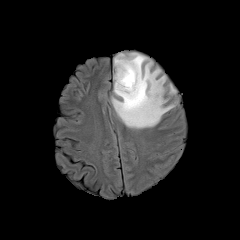
FLAIR MR.
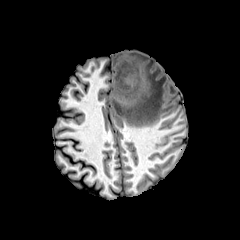
T1-weighted magnetic resonance.
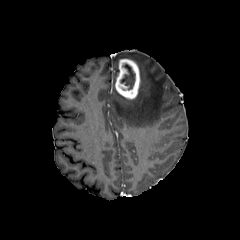
Post-contrast T1-weighted magnetic resonance.
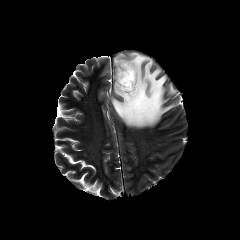
T2-weighted MR.
240x240 | Head
{
  "enhancing_tumor": [
    "115,59,140,99"
  ],
  "peritumoral_edema": [
    "111,52,177,128"
  ],
  "necrotic_tumor_core": [
    "121,64,135,89"
  ]
}